FLAIR MRI.
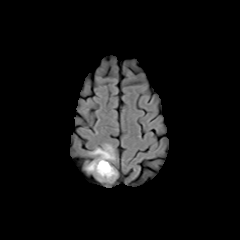
T1-weighted magnetic resonance.
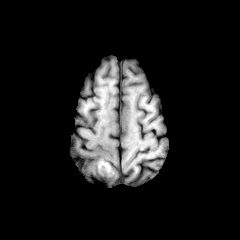
Post-contrast T1-weighted MRI.
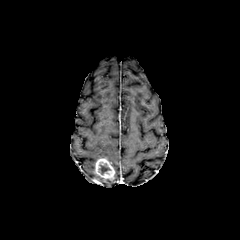
T2-weighted MRI.
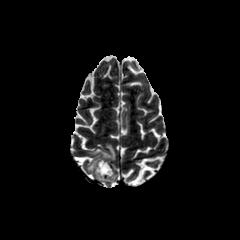
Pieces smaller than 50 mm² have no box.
enhancing tumor: bounding box (left=95, top=158, right=114, bottom=179)
necrotic tumor core: bounding box (left=99, top=163, right=110, bottom=174)
peritumoral edema: bounding box (left=87, top=160, right=96, bottom=172), (left=91, top=144, right=115, bottom=160)